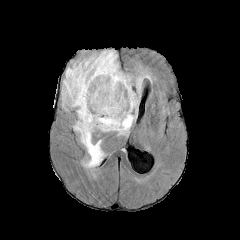
FLAIR MRI.
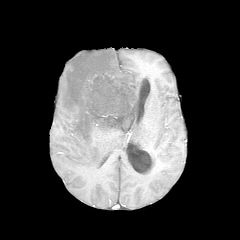
Same slice, T1-weighted MR image.
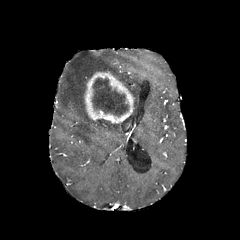
Post-contrast T1-weighted magnetic resonance of the same slice.
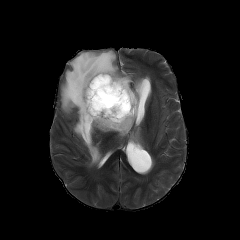
T2-weighted magnetic resonance of the same slice.
240x240 px, Axial view
necrotic tumor core: bounding box (x1=92, y1=78, x2=128, y2=116)
enhancing tumor: bounding box (x1=84, y1=71, x2=134, y2=125)
peritumoral edema: bounding box (x1=61, y1=50, x2=150, y2=167)